Axial plane | Head | Image width 240 mm
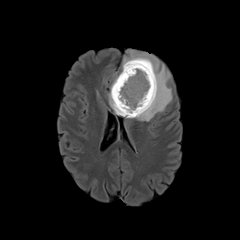
FLAIR magnetic resonance.
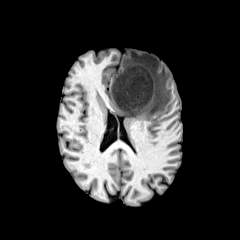
Same slice, T1-weighted MR.
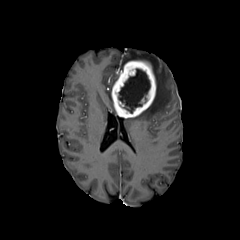
Post-contrast T1-weighted MR image.
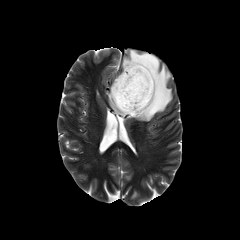
Same slice, T2-weighted MR.
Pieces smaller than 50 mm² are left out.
enhancing tumor — 111:60:156:117
peritumoral edema — 122:50:172:121, 108:75:118:113
necrotic tumor core — 118:68:150:113